Slice index 62, Head, Axial slice
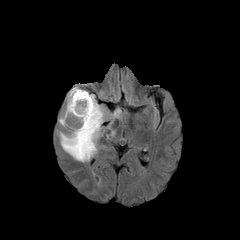
FLAIR MR image.
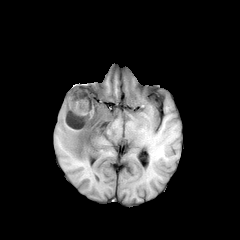
T1-weighted MR.
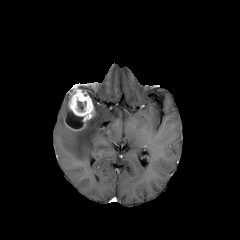
Post-contrast T1-weighted MR of the same slice.
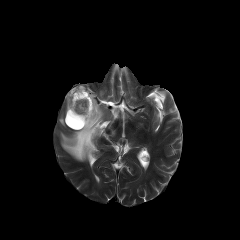
T2-weighted MR image.
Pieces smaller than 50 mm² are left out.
enhancing tumor at 64 86 95 130
peritumoral edema at 110 109 121 119, 59 93 68 126, 59 94 107 162
necrotic tumor core at 66 111 83 128